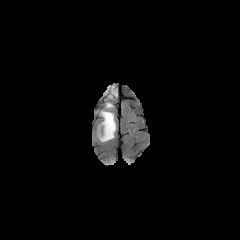
FLAIR MR.
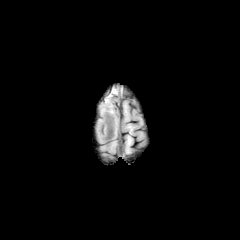
T1-weighted magnetic resonance.
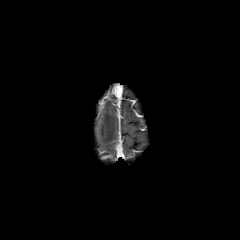
Post-contrast T1-weighted magnetic resonance of the same slice.
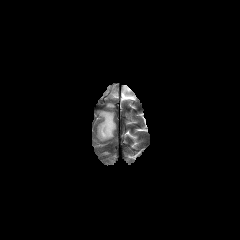
T2-weighted MR image.
Axial view
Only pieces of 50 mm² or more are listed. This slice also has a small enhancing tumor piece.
The largest peritumoral edema region is located at 99:111:115:141.